Head | Axial view
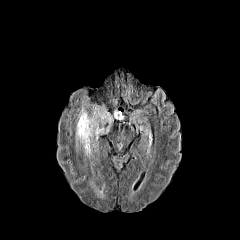
FLAIR MR.
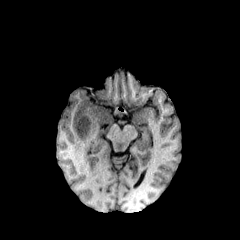
T1-weighted MR.
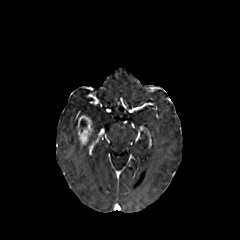
Post-contrast T1-weighted MR image of the same slice.
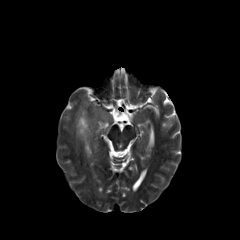
T2-weighted MR.
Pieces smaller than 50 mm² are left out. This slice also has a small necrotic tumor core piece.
enhancing tumor — 77 115 93 145
peritumoral edema — 91 112 97 133